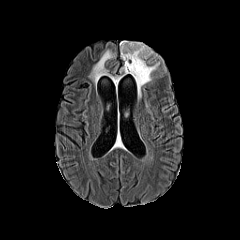
FLAIR magnetic resonance.
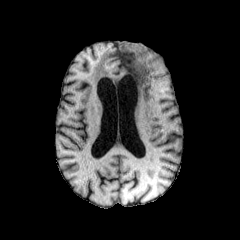
Same slice, T1-weighted MR image.
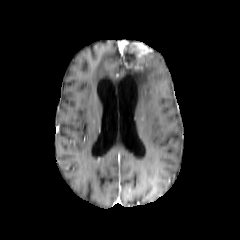
Post-contrast T1-weighted MR image of the same slice.
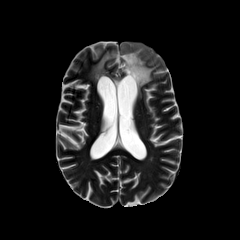
T2-weighted magnetic resonance.
240x240, Head, Axial slice
{"necrotic_tumor_core": ["rect(124, 44, 137, 64)"], "peritumoral_edema": ["rect(120, 52, 159, 97)", "rect(91, 50, 120, 83)"], "enhancing_tumor": ["rect(119, 41, 152, 70)"]}